Slice 47/155, Brain, Axial slice
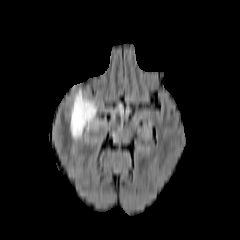
FLAIR MR image.
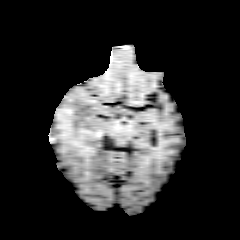
T1-weighted MRI of the same slice.
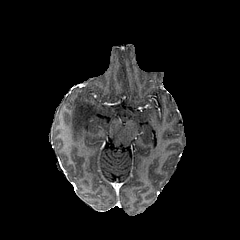
Post-contrast T1-weighted MR.
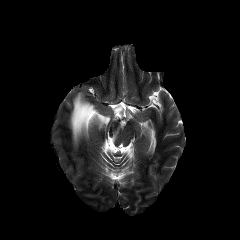
Same slice, T2-weighted magnetic resonance.
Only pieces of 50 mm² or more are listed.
Annotated regions:
* peritumoral edema: <bbox>70, 91, 98, 141</bbox>, <bbox>113, 125, 124, 141</bbox>